FLAIR MR.
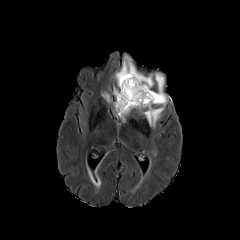
T1-weighted MR.
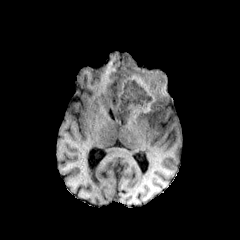
Post-contrast T1-weighted magnetic resonance.
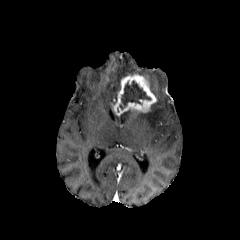
T2-weighted MR.
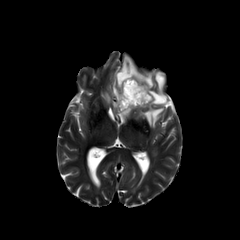
240x240 px | Brain
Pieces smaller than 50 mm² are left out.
{"enhancing_tumor": ["<bbox>112, 73, 156, 115</bbox>"], "peritumoral_edema": ["<bbox>102, 92, 111, 102</bbox>", "<bbox>145, 74, 153, 88</bbox>", "<bbox>142, 72, 168, 127</bbox>", "<bbox>115, 55, 142, 89</bbox>", "<bbox>117, 110, 130, 121</bbox>"], "necrotic_tumor_core": ["<bbox>121, 81, 150, 106</bbox>"]}